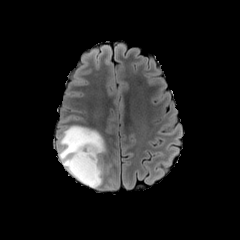
FLAIR MR image.
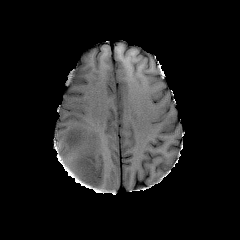
T1-weighted MRI.
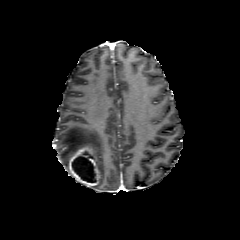
Post-contrast T1-weighted MR image of the same slice.
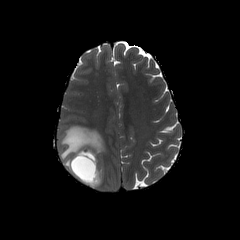
T2-weighted magnetic resonance.
Brain. 240x240.
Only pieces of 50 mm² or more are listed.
The largest peritumoral edema region is located at 58,125,105,188. The necrotic tumor core appears at 72,151,95,182. The enhancing tumor lies within 64,145,100,188.